FLAIR magnetic resonance.
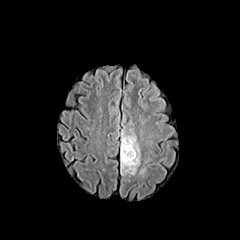
T1-weighted MRI.
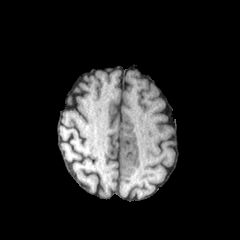
Post-contrast T1-weighted MR.
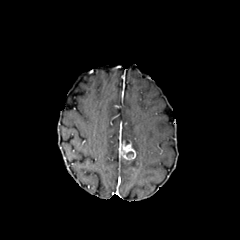
T2-weighted MRI.
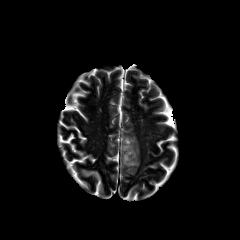
Axial view, Brain
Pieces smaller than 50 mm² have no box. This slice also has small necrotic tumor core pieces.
peritumoral edema: x1=120 y1=127 x2=140 y2=175 | enhancing tumor: x1=120 y1=141 x2=135 y2=161